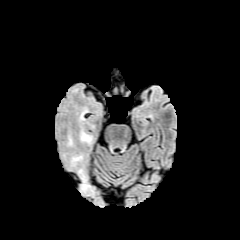
FLAIR MR.
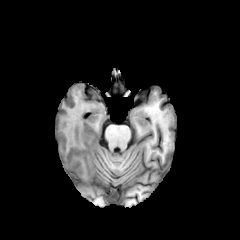
T1-weighted MR.
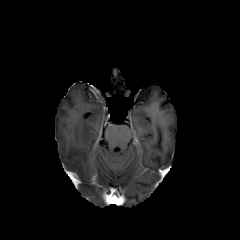
Same slice, post-contrast T1-weighted MRI.
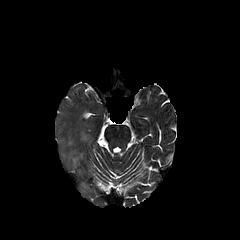
T2-weighted MRI.
Head
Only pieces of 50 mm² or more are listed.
The 2 largest peritumoral edema regions are bounded by l=80, t=129, r=92, b=142; l=67, t=134, r=73, b=145.